FLAIR MR image.
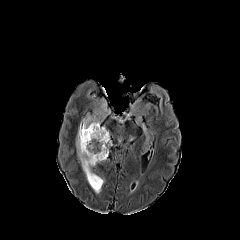
T1-weighted MR image.
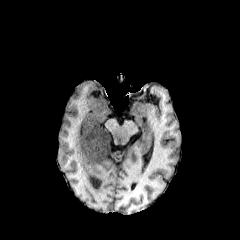
Post-contrast T1-weighted magnetic resonance.
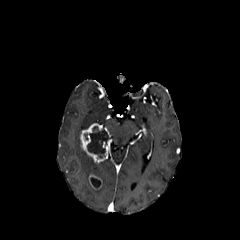
T2-weighted MR image.
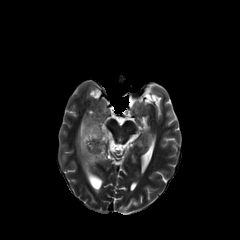
Head; 240x240 px
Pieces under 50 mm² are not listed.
Findings:
• peritumoral edema: box=[76, 110, 101, 181]
• enhancing tumor: box=[80, 123, 111, 162]; box=[89, 174, 102, 189]
• necrotic tumor core: box=[91, 177, 100, 187]; box=[87, 126, 109, 158]